Slice 83 of 155 | Axial plane
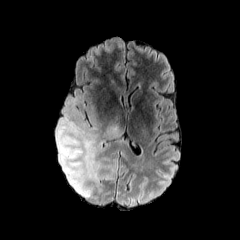
FLAIR magnetic resonance.
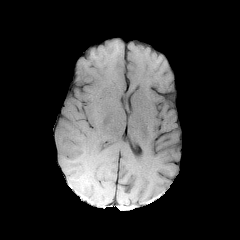
T1-weighted MR image.
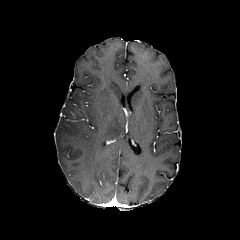
Post-contrast T1-weighted MR image of the same slice.
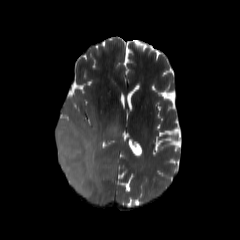
Same slice, T2-weighted magnetic resonance.
2 peritumoral edema regions are located at bbox(56, 95, 115, 197); bbox(105, 122, 123, 139).